Image covers 240 mm x 240 mm; Axial slice
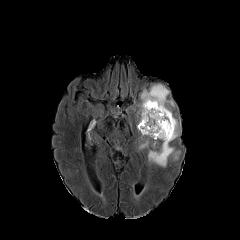
FLAIR MR.
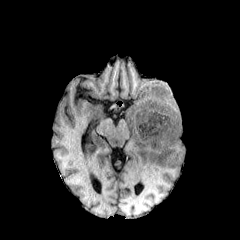
Same slice, T1-weighted MR image.
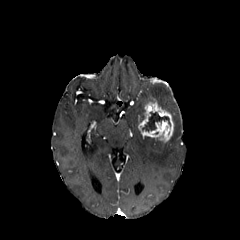
Post-contrast T1-weighted MRI.
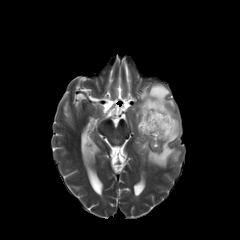
T2-weighted MR image.
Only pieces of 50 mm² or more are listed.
peritumoral edema at {"x1": 137, "y1": 84, "x2": 181, "y2": 167}
necrotic tumor core at {"x1": 142, "y1": 112, "x2": 170, "y2": 131}
enhancing tumor at {"x1": 138, "y1": 100, "x2": 174, "y2": 142}